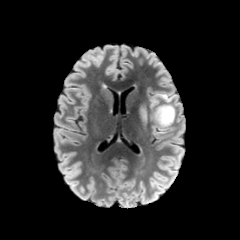
FLAIR MRI.
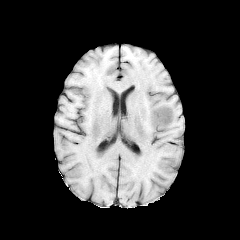
Same slice, T1-weighted MR image.
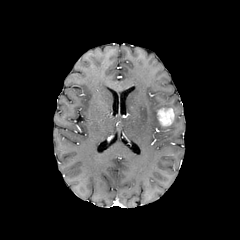
Same slice, post-contrast T1-weighted MR image.
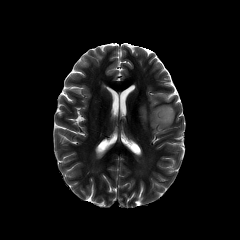
Same slice, T2-weighted MR image.
Axial plane; Head
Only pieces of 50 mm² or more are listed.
enhancing_tumor:
  - (left=157, top=108, right=174, bottom=126)
peritumoral_edema:
  - (left=149, top=92, right=175, bottom=130)
  - (left=141, top=108, right=147, bottom=121)